FLAIR MR image.
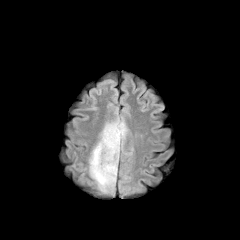
T1-weighted MR image.
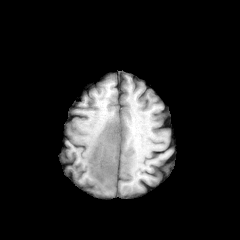
Post-contrast T1-weighted MR image.
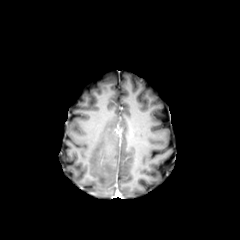
T2-weighted MR image.
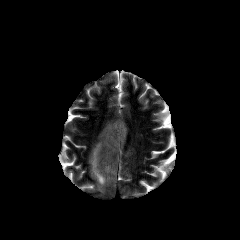
Axial view | Head
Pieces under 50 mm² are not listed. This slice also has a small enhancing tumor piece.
peritumoral_edema:
  - rect(89, 119, 127, 192)